FLAIR MR image.
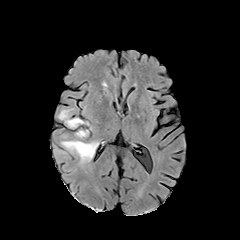
T1-weighted magnetic resonance.
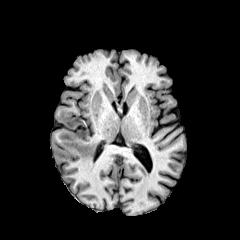
Post-contrast T1-weighted MR.
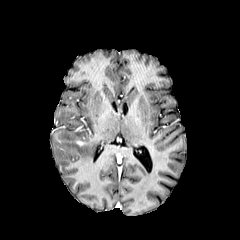
T2-weighted MR.
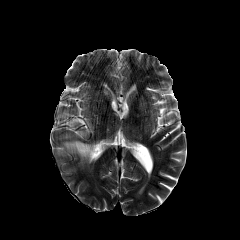
Brain
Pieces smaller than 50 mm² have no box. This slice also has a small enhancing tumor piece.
peritumoral_edema:
  - <bbox>58, 110, 88, 127</bbox>
  - <bbox>75, 130, 88, 137</bbox>
  - <bbox>62, 140, 98, 163</bbox>